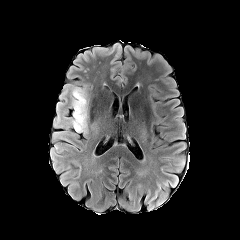
FLAIR magnetic resonance.
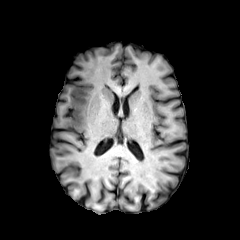
Same slice, T1-weighted magnetic resonance.
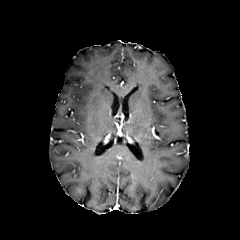
Same slice, post-contrast T1-weighted MR.
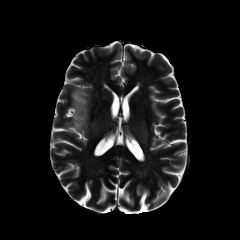
Same slice, T2-weighted MRI.
Brain, 240x240 px
The peritumoral edema appears at 71:85:89:133.